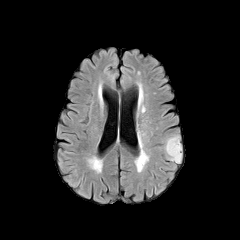
FLAIR magnetic resonance.
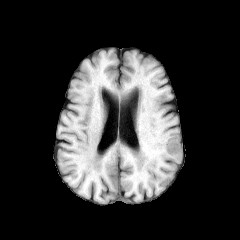
T1-weighted magnetic resonance.
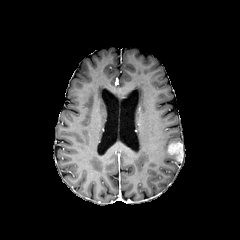
Same slice, post-contrast T1-weighted MR.
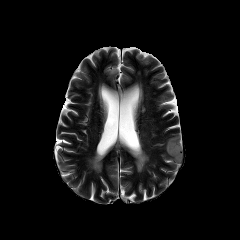
Same slice, T2-weighted MRI.
240x240 px.
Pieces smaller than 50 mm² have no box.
{"peritumoral_edema": ["bbox(165, 135, 181, 163)"], "enhancing_tumor": ["bbox(168, 142, 182, 161)"]}